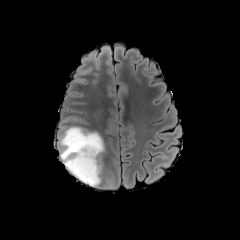
FLAIR MR.
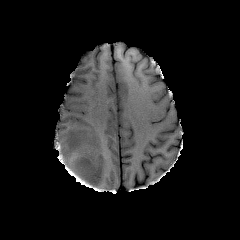
T1-weighted MRI.
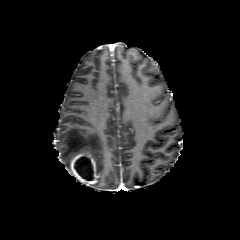
Same slice, post-contrast T1-weighted MR image.
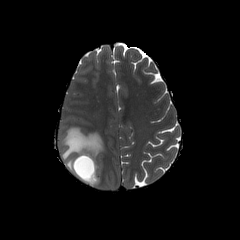
T2-weighted MR.
Axial slice, Head
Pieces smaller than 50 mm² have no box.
Segmented structures:
- necrotic tumor core: [74, 155, 93, 180]
- peritumoral edema: [58, 126, 104, 173]
- enhancing tumor: [67, 151, 99, 185]